FLAIR MR.
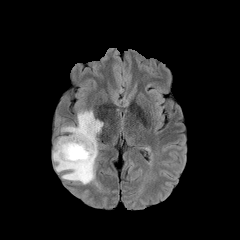
T1-weighted MRI.
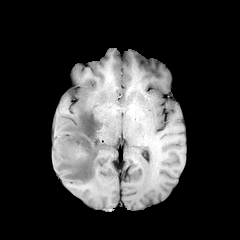
Post-contrast T1-weighted magnetic resonance.
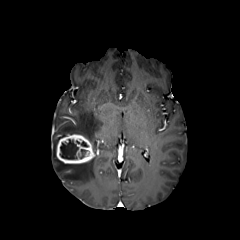
T2-weighted MR.
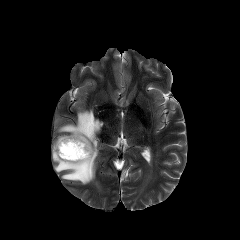
Axial plane. 240x240.
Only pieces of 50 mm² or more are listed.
Segmented structures:
* necrotic tumor core: 78:149:86:158, 60:139:78:159
* peritumoral edema: 52:136:97:184, 59:110:103:150
* enhancing tumor: 56:134:98:163